FLAIR MR.
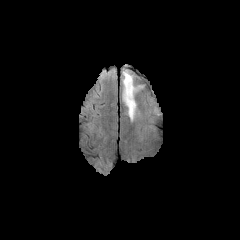
T1-weighted MRI.
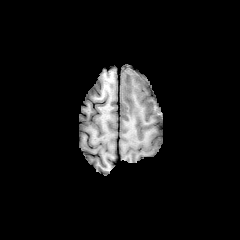
Post-contrast T1-weighted MRI.
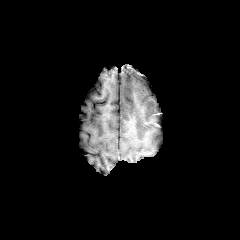
T2-weighted MR.
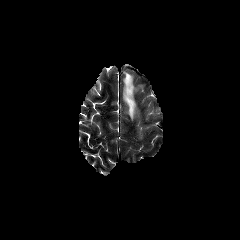
Brain | 240x240 px
The peritumoral edema is located at [122, 70, 142, 120].